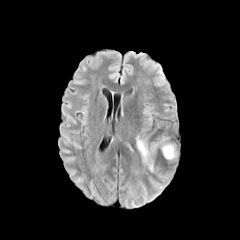
FLAIR MR image.
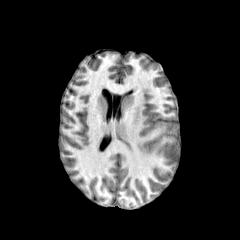
T1-weighted MRI.
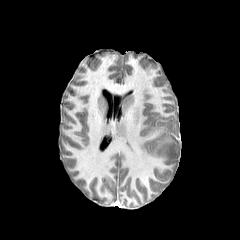
Post-contrast T1-weighted magnetic resonance.
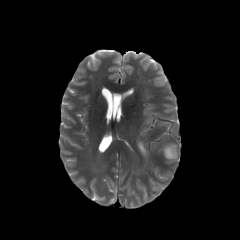
T2-weighted magnetic resonance of the same slice.
Head
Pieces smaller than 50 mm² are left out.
The largest peritumoral edema region appears at l=136, t=125, r=176, b=162.